FLAIR MR image.
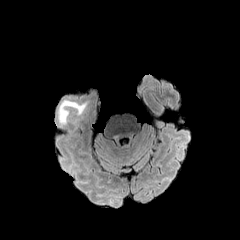
T1-weighted MR.
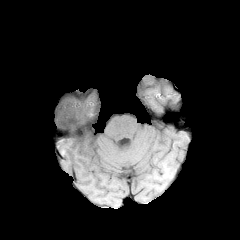
Post-contrast T1-weighted MR.
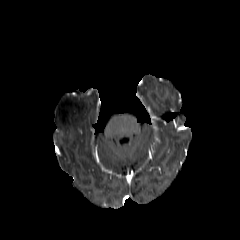
T2-weighted MR.
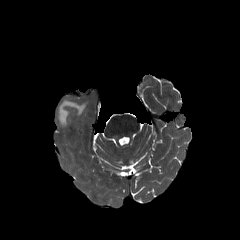
Image size 240x240 | Axial view | Head
peritumoral edema: left=58, top=99, right=85, bottom=124